FLAIR MR.
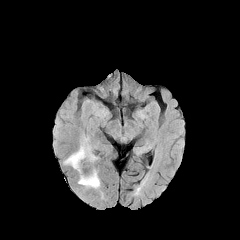
T1-weighted MRI.
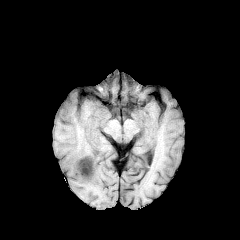
Post-contrast T1-weighted MR.
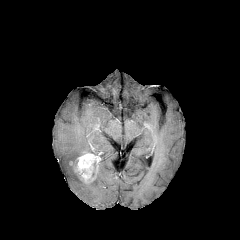
T2-weighted MR.
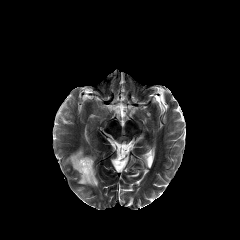
Axial plane
2 peritumoral edema regions appear at {"x1": 63, "y1": 137, "x2": 91, "y2": 169}, {"x1": 78, "y1": 170, "x2": 100, "y2": 188}. The enhancing tumor is bounded by {"x1": 75, "y1": 153, "x2": 99, "y2": 182}.